FLAIR MR.
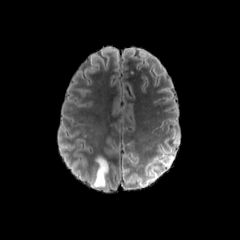
T1-weighted magnetic resonance.
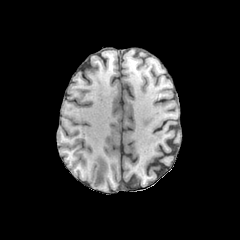
Post-contrast T1-weighted MRI.
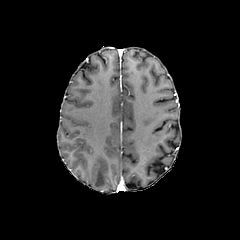
T2-weighted MRI.
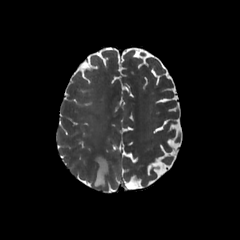
peritumoral edema: bounding box region(93, 157, 107, 186)